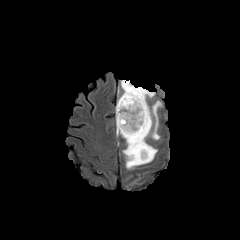
FLAIR magnetic resonance.
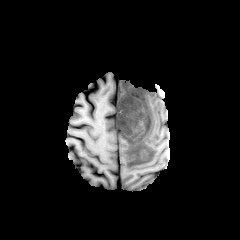
T1-weighted MRI of the same slice.
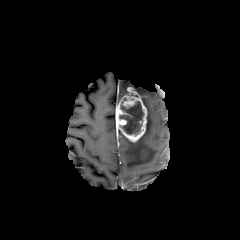
Post-contrast T1-weighted MR of the same slice.
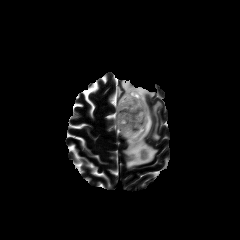
T2-weighted magnetic resonance.
Head
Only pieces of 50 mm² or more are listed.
enhancing tumor = rect(115, 87, 147, 142); rect(141, 149, 148, 160)
necrotic tumor core = rect(119, 101, 143, 134)
peritumoral edema = rect(116, 80, 162, 169)